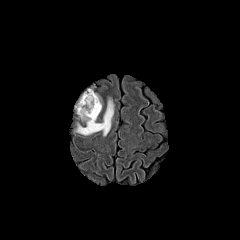
FLAIR MR.
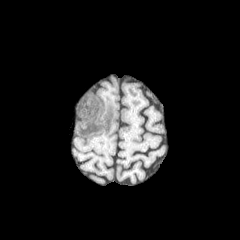
T1-weighted MRI.
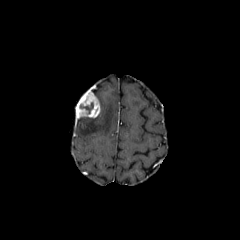
Post-contrast T1-weighted magnetic resonance.
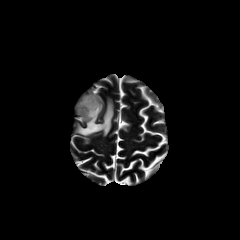
T2-weighted magnetic resonance.
240x240 px
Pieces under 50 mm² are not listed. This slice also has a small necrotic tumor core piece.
The enhancing tumor appears at (left=75, top=89, right=100, bottom=118). The largest peritumoral edema region is bounded by (left=76, top=98, right=114, bottom=136).